Axial view, Slice index 54, Head
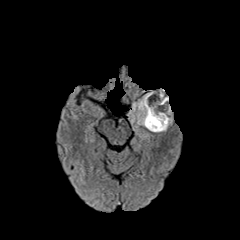
FLAIR MR.
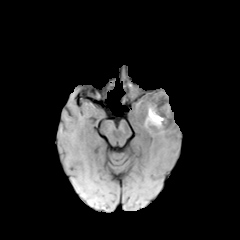
T1-weighted MRI of the same slice.
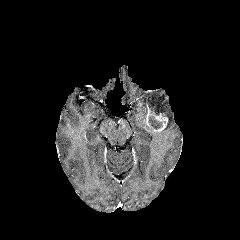
Post-contrast T1-weighted magnetic resonance of the same slice.
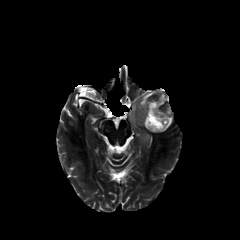
T2-weighted MRI.
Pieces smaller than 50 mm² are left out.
enhancing tumor: bbox(144, 104, 168, 132) | necrotic tumor core: bbox(149, 115, 161, 129); bbox(147, 93, 167, 116) | peritumoral edema: bbox(162, 96, 172, 131); bbox(129, 89, 164, 132)